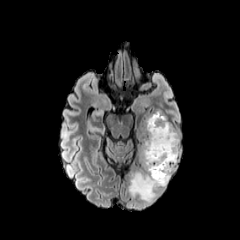
FLAIR MRI.
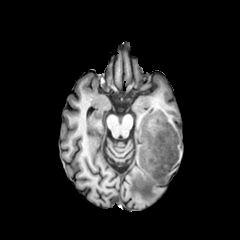
T1-weighted magnetic resonance.
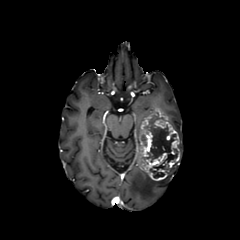
Post-contrast T1-weighted MR of the same slice.
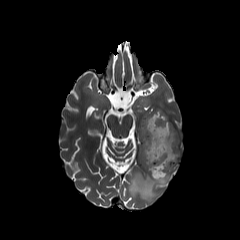
Same slice, T2-weighted magnetic resonance.
Head
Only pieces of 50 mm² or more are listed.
2 peritumoral edema regions are located at box(129, 161, 178, 201); box(174, 128, 181, 153). The largest necrotic tumor core region appears at box(144, 115, 177, 178). The largest enhancing tumor region lies within box(136, 108, 180, 180).